Axial plane. Slice index 120.
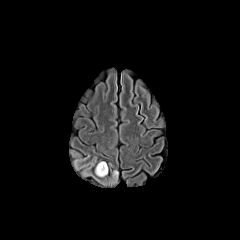
FLAIR magnetic resonance.
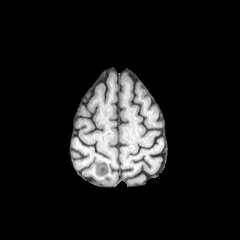
T1-weighted MR image.
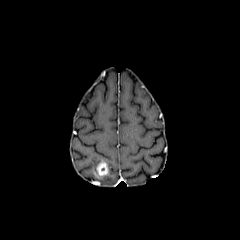
Post-contrast T1-weighted MRI of the same slice.
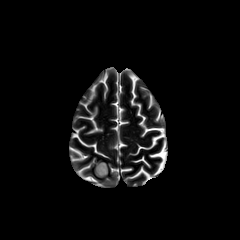
T2-weighted MRI.
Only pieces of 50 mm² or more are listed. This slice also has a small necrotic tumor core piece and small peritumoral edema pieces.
{"enhancing_tumor": ["95 161 108 176"]}